Image covers 240 mm x 240 mm. Slice 95/155. Image size 240x240.
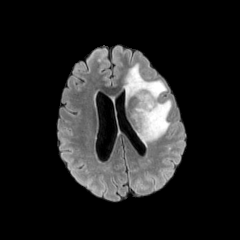
FLAIR magnetic resonance.
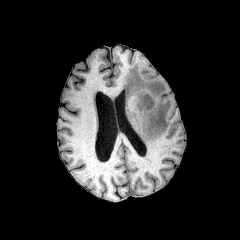
Same slice, T1-weighted MR.
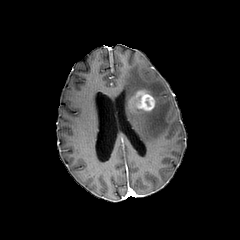
Post-contrast T1-weighted MRI.
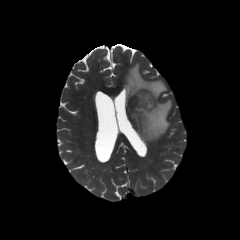
T2-weighted MR.
Annotated regions:
- peritumoral edema: [x1=124, y1=64, x2=171, y2=144]
- enhancing tumor: [x1=135, y1=90, x2=155, y2=111]